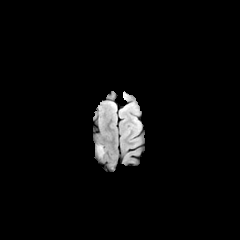
FLAIR magnetic resonance.
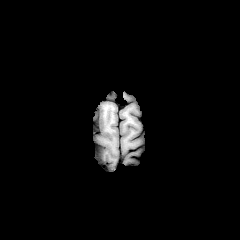
Same slice, T1-weighted MR.
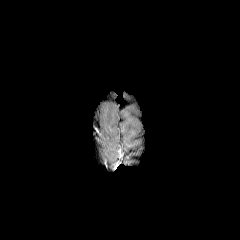
Post-contrast T1-weighted MR image of the same slice.
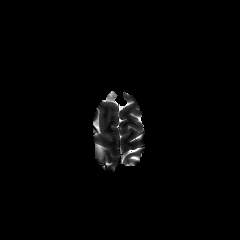
T2-weighted MR of the same slice.
Axial plane, Head
{
  "peritumoral_edema": [
    "[96,145,104,157]"
  ]
}